Brain; Image width 240 mm, 1.00 mm slice spacing; Image size 240x240; Slice index 99
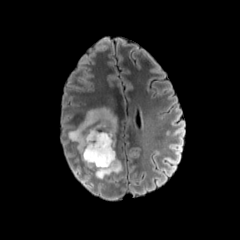
FLAIR MRI.
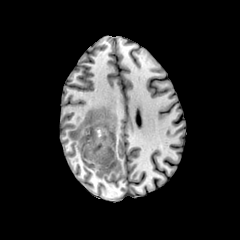
T1-weighted MRI of the same slice.
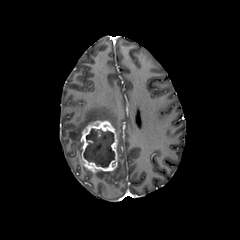
Same slice, post-contrast T1-weighted MR image.
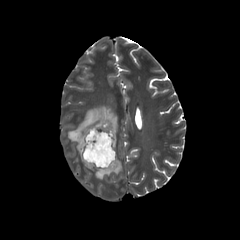
Same slice, T2-weighted MR image.
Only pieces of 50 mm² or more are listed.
The largest enhancing tumor region lies within x1=80, y1=120, x2=117, y2=172. The necrotic tumor core lies within x1=83, y1=129, x2=114, y2=167. 2 peritumoral edema regions are bounded by x1=95, y1=159, x2=122, y2=179; x1=68, y1=107, x2=117, y2=152.